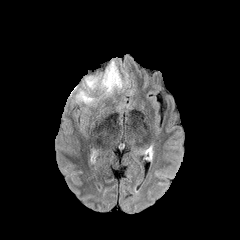
FLAIR MR.
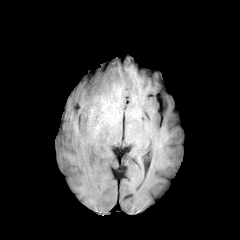
T1-weighted MR.
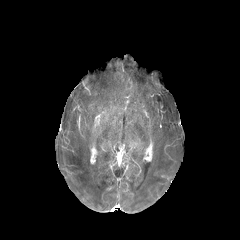
Post-contrast T1-weighted MR.
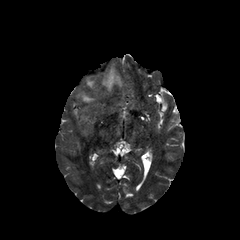
T2-weighted MR.
Brain | 240x240
peritumoral edema = <bbox>86, 77, 98, 89</bbox>, <bbox>76, 90, 97, 103</bbox>, <bbox>99, 62, 123, 95</bbox>